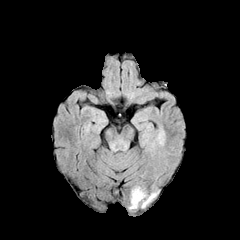
FLAIR magnetic resonance.
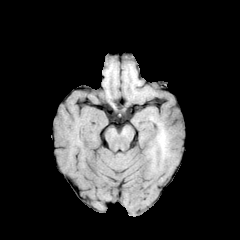
T1-weighted MR.
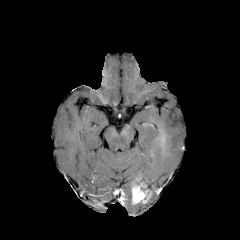
Post-contrast T1-weighted MR image.
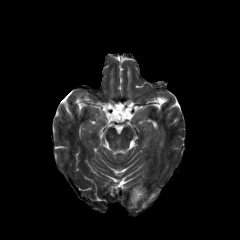
T2-weighted magnetic resonance.
Axial slice
enhancing tumor — x1=132 y1=184 x2=150 y2=203
peritumoral edema — x1=129 y1=192 x2=138 y2=209, x1=141 y1=192 x2=156 y2=207